Slice 31 of 155, Head, Image size 240x240
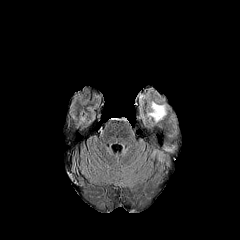
FLAIR magnetic resonance.
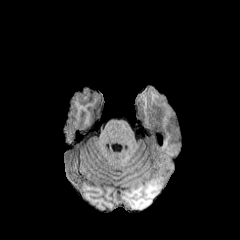
T1-weighted MR of the same slice.
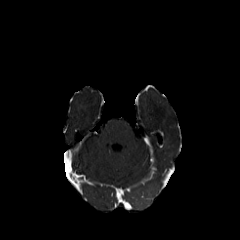
Post-contrast T1-weighted MR image.
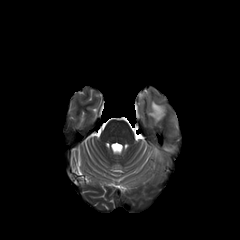
T2-weighted magnetic resonance.
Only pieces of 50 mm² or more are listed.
peritumoral edema: bounding box x1=148, y1=101, x2=165, y2=122